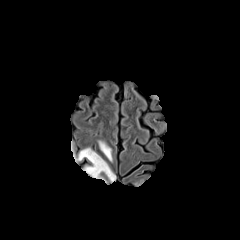
FLAIR MR.
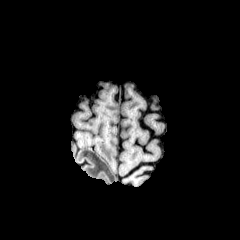
T1-weighted MR.
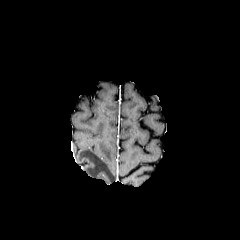
Post-contrast T1-weighted MR.
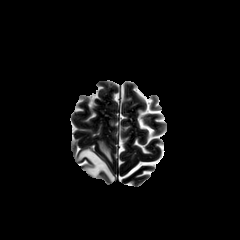
T2-weighted MR.
Brain; Image size 240x240; Axial view
peritumoral edema: 76 148 115 181, 99 141 112 161